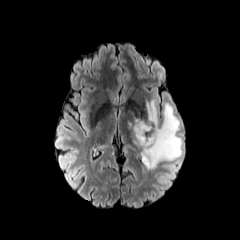
FLAIR MRI.
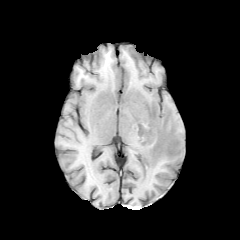
T1-weighted MR.
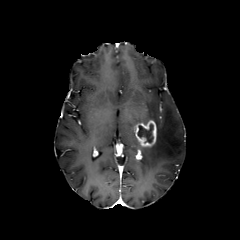
Same slice, post-contrast T1-weighted MR.
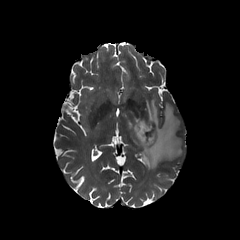
T2-weighted MR of the same slice.
Axial plane; Brain
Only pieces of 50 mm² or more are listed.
Segmented structures:
- peritumoral edema: 127,107,147,147; 141,100,182,170
- necrotic tumor core: 137,123,153,143
- enhancing tumor: 134,120,157,147